Slice 71 of 155.
FLAIR MR.
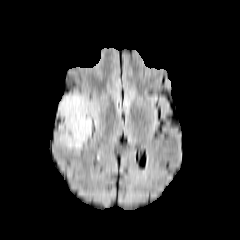
T1-weighted magnetic resonance.
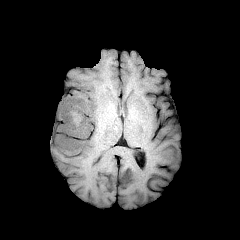
Post-contrast T1-weighted magnetic resonance.
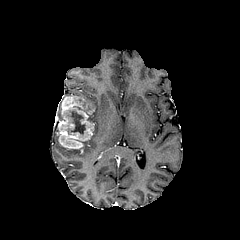
T2-weighted magnetic resonance.
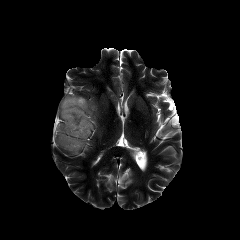
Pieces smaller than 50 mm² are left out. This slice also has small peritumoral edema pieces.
enhancing tumor = bbox(57, 95, 94, 148)
necrotic tumor core = bbox(70, 111, 85, 134)